FLAIR MR image.
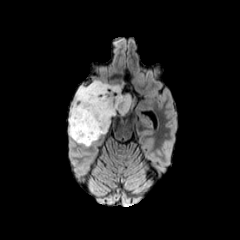
T1-weighted MR.
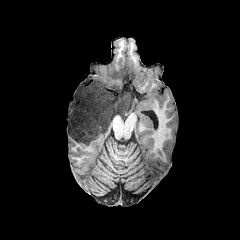
Post-contrast T1-weighted magnetic resonance.
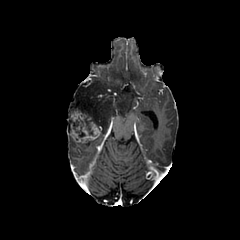
T2-weighted magnetic resonance.
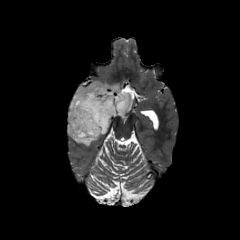
Head | 240x240 px | Axial plane
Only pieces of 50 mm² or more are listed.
2 peritumoral edema regions are located at 78 137 98 146, 68 80 132 135. The largest necrotic tumor core region is bounded by 84 120 93 135. The enhancing tumor is bounded by 70 109 101 142.